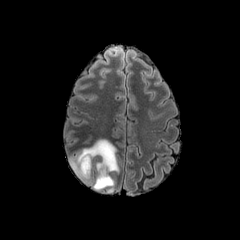
FLAIR MR.
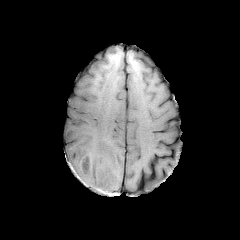
T1-weighted MR image of the same slice.
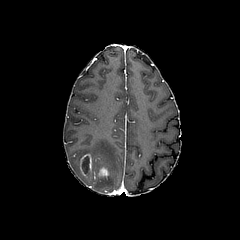
Post-contrast T1-weighted MRI.
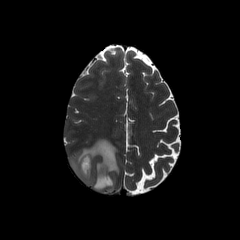
T2-weighted MR.
240x240 px, Brain
The peritumoral edema appears at (left=69, top=139, right=119, bottom=192). The necrotic tumor core is located at (left=82, top=156, right=89, bottom=173). 2 enhancing tumor regions are bounded by (left=80, top=153, right=92, bottom=176), (left=97, top=165, right=108, bottom=179).